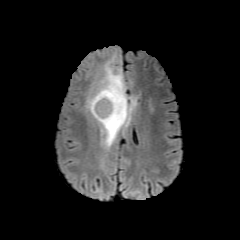
FLAIR MR image.
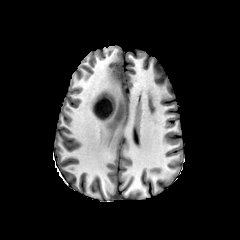
T1-weighted MRI of the same slice.
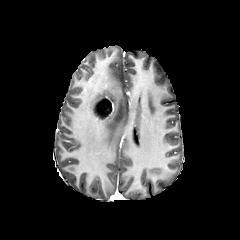
Post-contrast T1-weighted magnetic resonance.
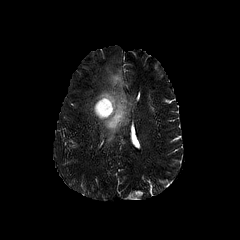
T2-weighted MRI of the same slice.
Image size 240x240; Axial plane
The peritumoral edema appears at <box>86,63,136,148</box>. The necrotic tumor core is bounded by <box>94,98,112,118</box>. The enhancing tumor lies within <box>92,96,114,120</box>.